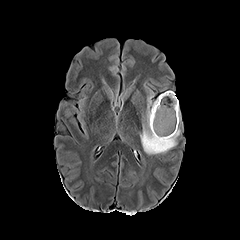
FLAIR magnetic resonance.
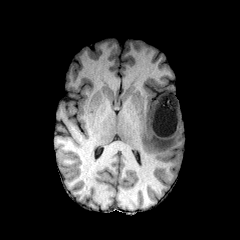
T1-weighted MR of the same slice.
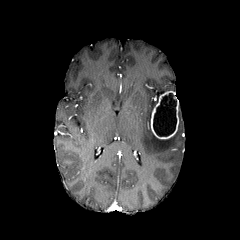
Post-contrast T1-weighted MR.
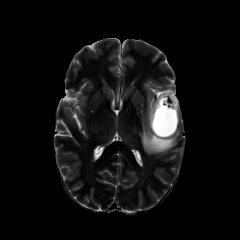
Same slice, T2-weighted magnetic resonance.
Head | Axial plane
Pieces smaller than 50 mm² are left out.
necrotic tumor core: {"x1": 153, "y1": 93, "x2": 176, "y2": 136} | enhancing tumor: {"x1": 151, "y1": 91, "x2": 178, "y2": 139} | peritumoral edema: {"x1": 140, "y1": 95, "x2": 180, "y2": 154}